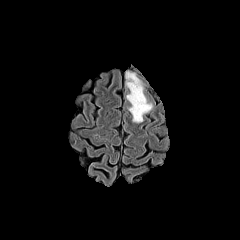
FLAIR MR image.
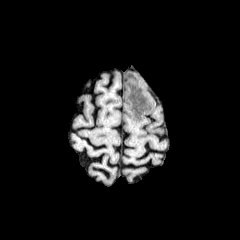
T1-weighted MR of the same slice.
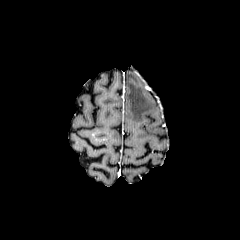
Post-contrast T1-weighted MR image.
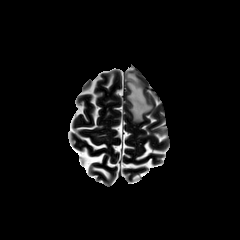
Same slice, T2-weighted MR.
Axial plane, Head
Segmented structures:
- peritumoral edema: <bbox>126, 72, 152, 122</bbox>